Slice 117 of 155
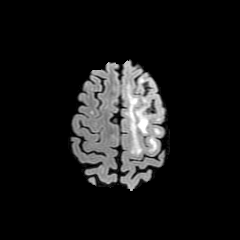
FLAIR MR.
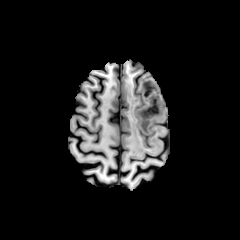
T1-weighted MR image.
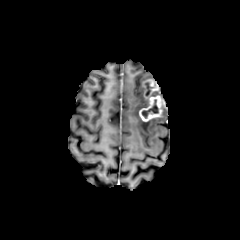
Post-contrast T1-weighted MR image.
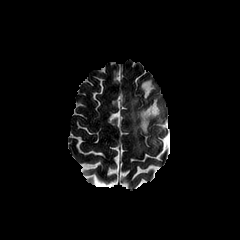
T2-weighted magnetic resonance.
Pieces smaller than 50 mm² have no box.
Annotated regions:
* peritumoral edema: l=125, t=86, r=149, b=152; l=139, t=78, r=147, b=91; l=149, t=136, r=157, b=150
* enhancing tumor: l=139, t=79, r=164, b=121
* necrotic tumor core: l=142, t=100, r=158, b=118